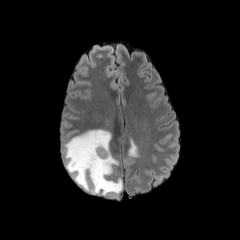
FLAIR magnetic resonance.
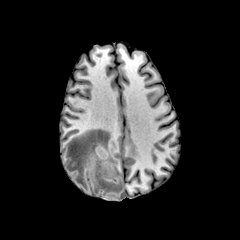
T1-weighted magnetic resonance of the same slice.
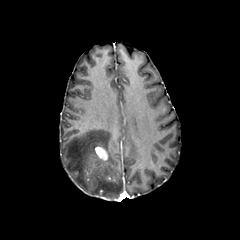
Post-contrast T1-weighted MR image of the same slice.
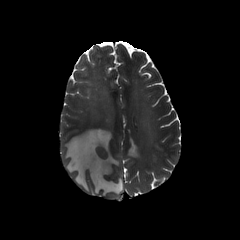
T2-weighted magnetic resonance.
Image size 240x240, Head
{"peritumoral_edema": ["128, 139, 138, 157", "64, 129, 122, 197"], "enhancing_tumor": ["95, 146, 108, 160"]}